FLAIR MR image.
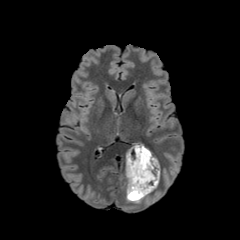
T1-weighted MRI.
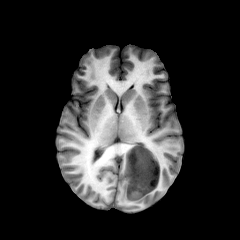
Post-contrast T1-weighted magnetic resonance.
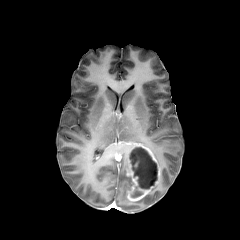
T2-weighted MR image.
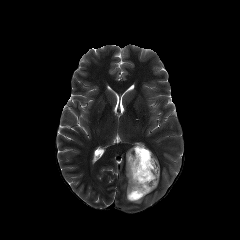
Head. Axial slice.
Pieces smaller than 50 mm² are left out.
* enhancing tumor: [x1=126, y1=143, x2=160, y2=201]
* peritumoral edema: [x1=126, y1=177, x2=131, y2=201]
* necrotic tumor core: [x1=129, y1=147, x2=157, y2=188], [x1=131, y1=190, x2=142, y2=197]